Axial view
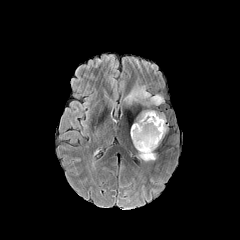
FLAIR magnetic resonance.
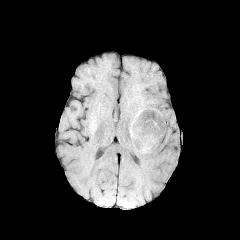
T1-weighted magnetic resonance.
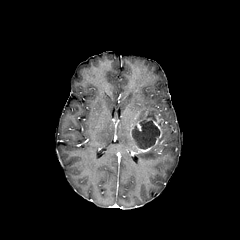
Same slice, post-contrast T1-weighted MR image.
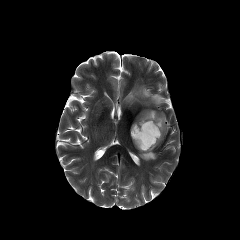
T2-weighted MR image of the same slice.
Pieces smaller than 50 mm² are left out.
enhancing tumor = box=[131, 112, 163, 152]
peritumoral edema = box=[137, 110, 158, 121]; box=[139, 143, 158, 161]; box=[135, 86, 163, 104]; box=[160, 113, 167, 137]
necrotic tumor core = box=[133, 115, 160, 149]